FLAIR MR.
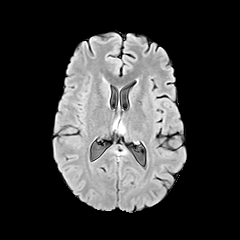
T1-weighted MR.
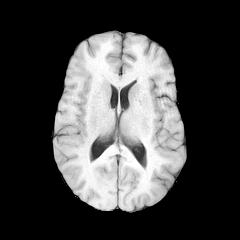
Post-contrast T1-weighted MR.
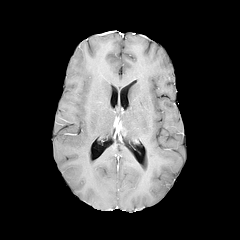
T2-weighted MRI.
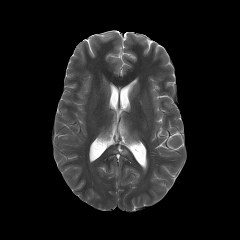
Brain. Image size 240x240.
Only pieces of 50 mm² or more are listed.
peritumoral edema: [x1=119, y1=120, x2=126, y2=134]
enhancing tumor: [x1=114, y1=118, x2=122, y2=132]